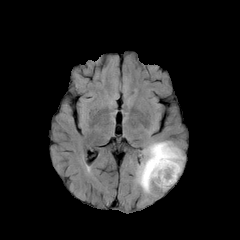
FLAIR MR.
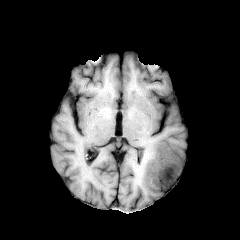
T1-weighted MRI.
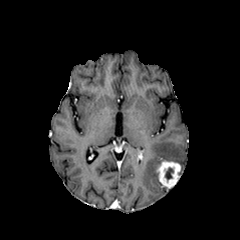
Post-contrast T1-weighted MR of the same slice.
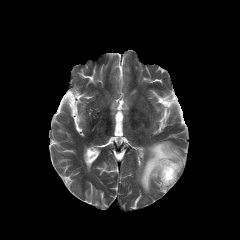
T2-weighted MR image.
Brain.
<segmentation>
  <peritumoral_edema><box>137,141,184,193</box></peritumoral_edema>
  <necrotic_tumor_core><box>165,168,173,179</box></necrotic_tumor_core>
  <enhancing_tumor><box>156,160,181,188</box></enhancing_tumor>
</segmentation>